FLAIR MRI.
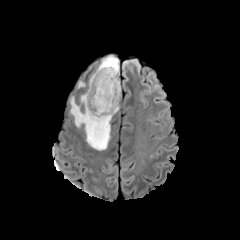
T1-weighted MR image.
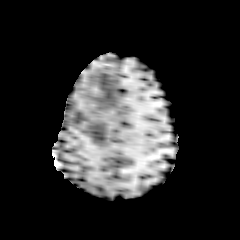
Post-contrast T1-weighted magnetic resonance.
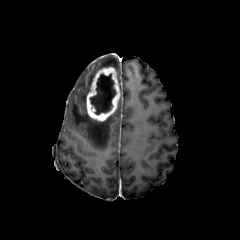
T2-weighted MRI.
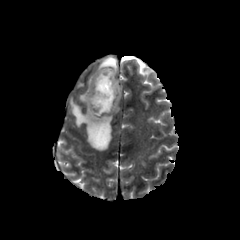
Axial view | 240x240 | Brain
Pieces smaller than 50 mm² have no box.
The enhancing tumor is bounded by 86,67,120,121. The necrotic tumor core is located at 90,74,115,114. The 2 largest peritumoral edema regions appear at 97,55,119,73; 71,98,112,150.